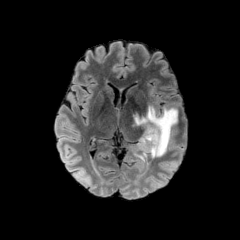
FLAIR magnetic resonance.
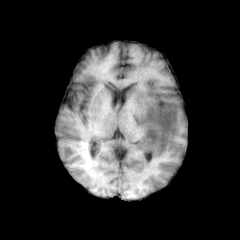
T1-weighted magnetic resonance of the same slice.
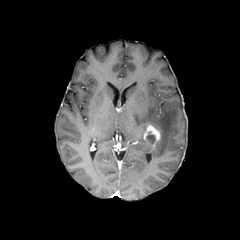
Post-contrast T1-weighted MRI.
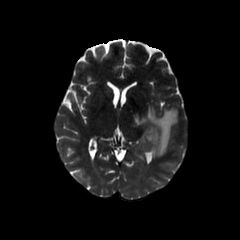
Same slice, T2-weighted MRI.
Axial slice
enhancing_tumor:
  - <box>143,123,161,149</box>
peritumoral_edema:
  - <box>134,106,177,159</box>
necrotic_tumor_core:
  - <box>146,131,154,142</box>